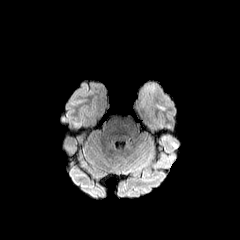
FLAIR MR.
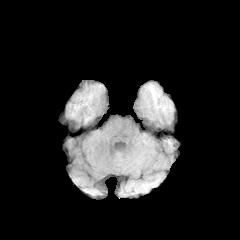
Same slice, T1-weighted magnetic resonance.
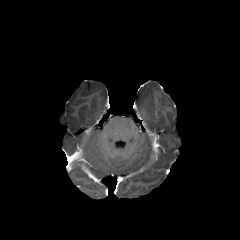
Same slice, post-contrast T1-weighted MR image.
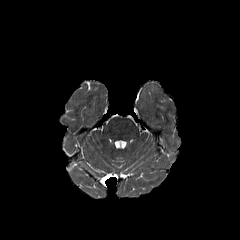
T2-weighted MR image.
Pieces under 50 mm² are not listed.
{
  "peritumoral_edema": [
    "140:84:155:104"
  ]
}